FLAIR MR.
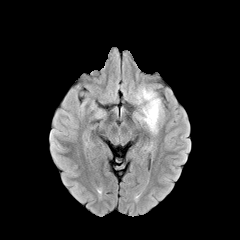
T1-weighted MR.
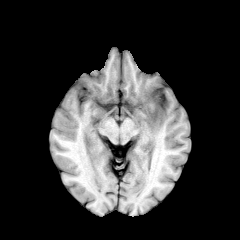
Post-contrast T1-weighted MR.
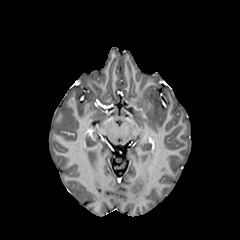
T2-weighted MRI.
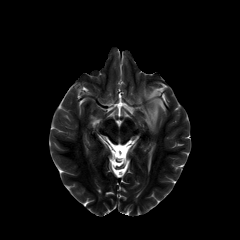
Head. 240x240 px.
peritumoral edema: 136 87 163 133